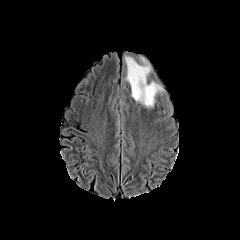
FLAIR MRI.
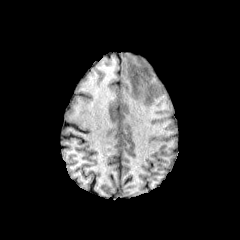
T1-weighted MR image.
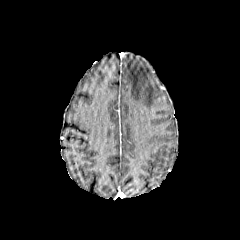
Post-contrast T1-weighted magnetic resonance of the same slice.
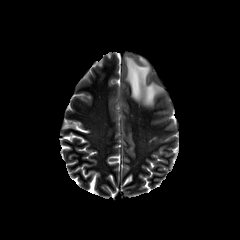
Same slice, T2-weighted MR image.
Brain, Axial view
The peritumoral edema is bounded by (x1=124, y1=55, x2=164, y2=108).